FLAIR magnetic resonance.
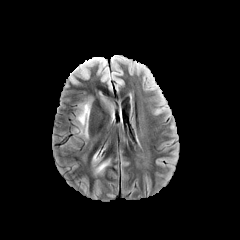
T1-weighted magnetic resonance.
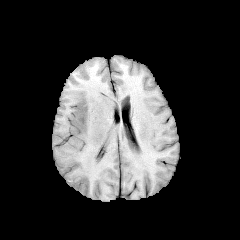
Post-contrast T1-weighted MRI.
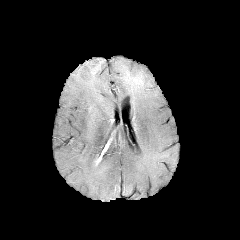
T2-weighted magnetic resonance.
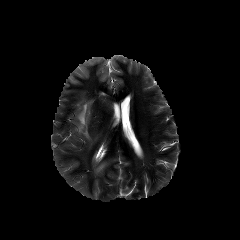
Head, Image size 240x240, Axial slice
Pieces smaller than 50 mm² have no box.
<segmentation>
  <peritumoral_edema>l=75, t=99, r=92, b=139; l=95, t=160, r=109, b=173</peritumoral_edema>
</segmentation>